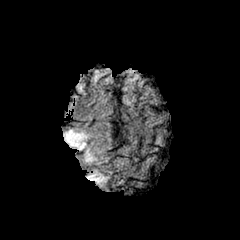
FLAIR MR.
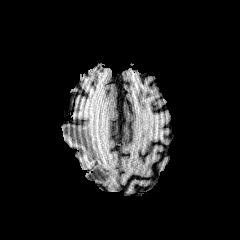
T1-weighted MRI.
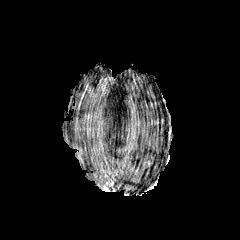
Post-contrast T1-weighted MR.
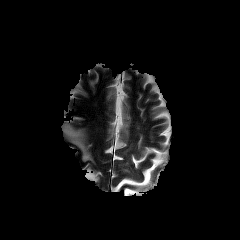
Same slice, T2-weighted magnetic resonance.
Axial view; Brain
2 peritumoral edema regions appear at region(86, 169, 107, 183); region(64, 128, 97, 164).